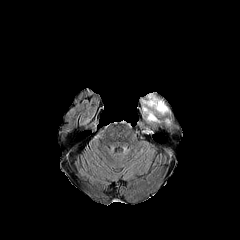
FLAIR magnetic resonance.
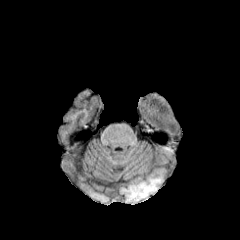
T1-weighted MR of the same slice.
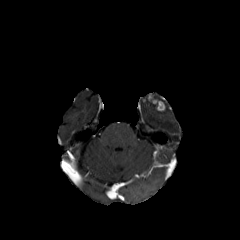
Post-contrast T1-weighted magnetic resonance of the same slice.
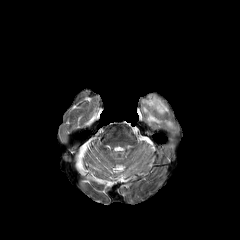
Same slice, T2-weighted MRI.
Image size 240x240; Brain; Axial view
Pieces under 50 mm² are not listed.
The largest enhancing tumor region is at rect(147, 94, 165, 111). The largest peritumoral edema region appears at rect(142, 100, 170, 123).